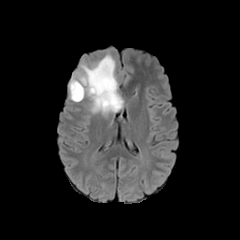
FLAIR MRI.
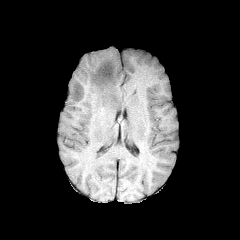
Same slice, T1-weighted MRI.
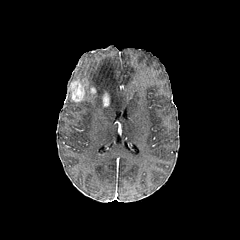
Same slice, post-contrast T1-weighted MR image.
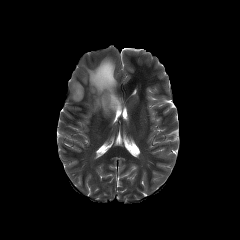
T2-weighted MR.
Head, Axial slice
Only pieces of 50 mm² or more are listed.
peritumoral edema — (x1=80, y1=56, x2=118, y2=113)
enhancing tumor — (x1=70, y1=81, x2=84, y2=101), (x1=103, y1=92, x2=109, y2=106)